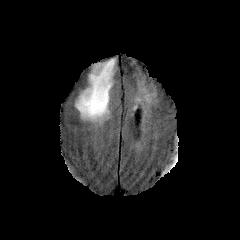
FLAIR MRI.
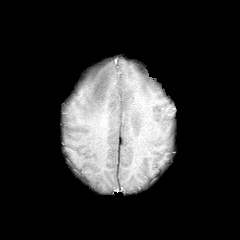
T1-weighted MRI.
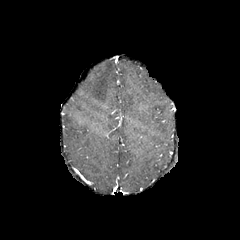
Same slice, post-contrast T1-weighted MRI.
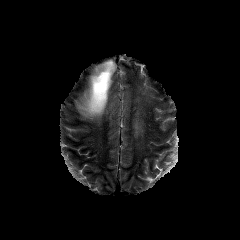
T2-weighted MR of the same slice.
240x240
<segmentation>
  <peritumoral_edema>box=[75, 60, 114, 120]</peritumoral_edema>
</segmentation>